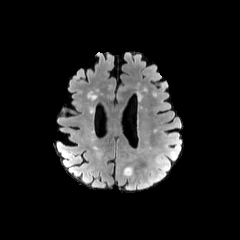
FLAIR magnetic resonance.
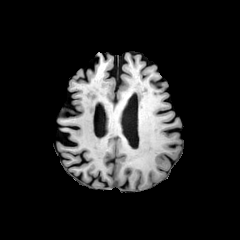
T1-weighted MR image.
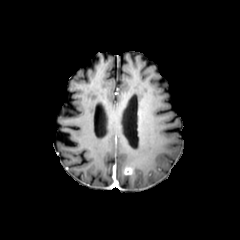
Post-contrast T1-weighted MRI.
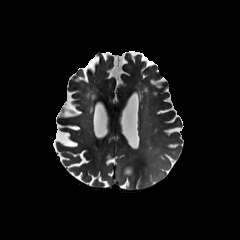
T2-weighted MR.
Image size 240x240 | Axial slice | Brain
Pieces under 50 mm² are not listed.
enhancing tumor: 123,167,133,180
peritumoral edema: 118,168,152,191